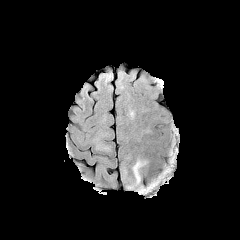
FLAIR MRI.
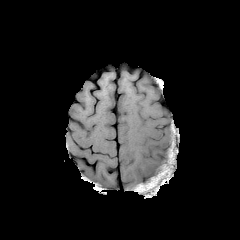
T1-weighted magnetic resonance of the same slice.
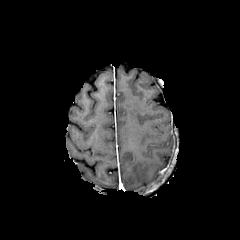
Post-contrast T1-weighted MR image.
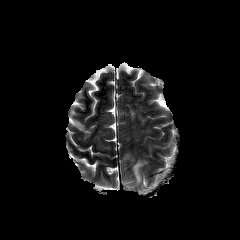
Same slice, T2-weighted magnetic resonance.
Axial view
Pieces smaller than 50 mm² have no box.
{"peritumoral_edema": ["(left=124, top=159, right=147, bottom=189)"]}